Image size 240x240. Brain.
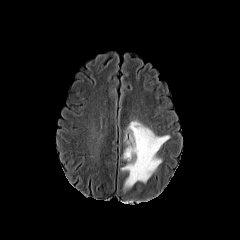
FLAIR MRI.
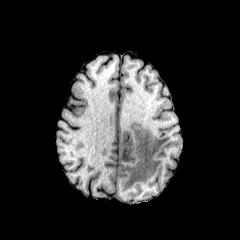
T1-weighted MRI.
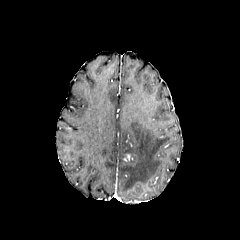
Post-contrast T1-weighted magnetic resonance of the same slice.
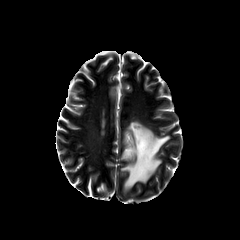
T2-weighted magnetic resonance.
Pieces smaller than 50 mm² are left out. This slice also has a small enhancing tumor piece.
Annotated regions:
- peritumoral edema: <box>121,120,169,190</box>